Image covers 240 mm x 240 mm. Brain. Slice index 74.
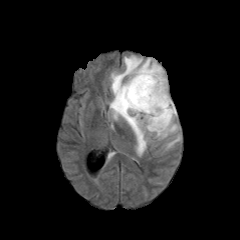
FLAIR MR image.
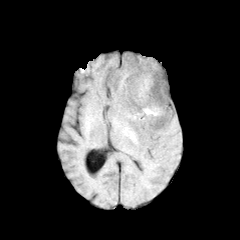
Same slice, T1-weighted MR image.
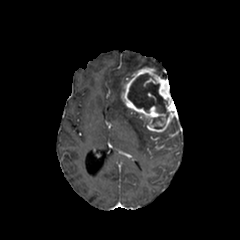
Post-contrast T1-weighted magnetic resonance.
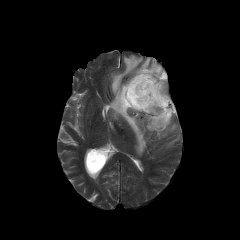
T2-weighted MRI of the same slice.
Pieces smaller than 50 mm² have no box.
{
  "peritumoral_edema": [
    "l=110, t=55, r=165, b=155",
    "l=149, t=122, r=177, b=138",
    "l=167, t=136, r=179, b=147"
  ],
  "necrotic_tumor_core": [
    "l=128, t=73, r=167, b=113"
  ],
  "enhancing_tumor": [
    "l=121, t=67, r=177, b=132"
  ]
}